Brain; Image size 240x240
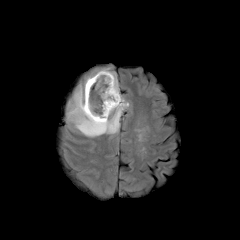
FLAIR MRI.
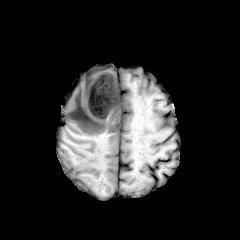
T1-weighted MRI.
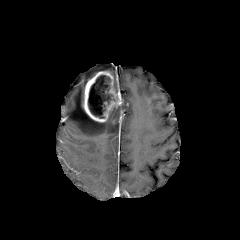
Post-contrast T1-weighted MR of the same slice.
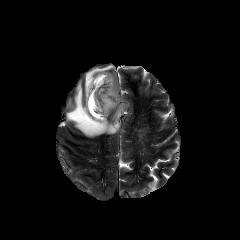
T2-weighted magnetic resonance.
{
  "necrotic_tumor_core": [
    "left=88, top=84, right=104, bottom=118"
  ],
  "enhancing_tumor": [
    "left=82, top=71, right=123, bottom=122"
  ],
  "peritumoral_edema": [
    "left=63, top=66, right=129, bottom=137"
  ]
}